Axial plane; Slice 84/155; Brain; Image size 240x240
FLAIR MRI.
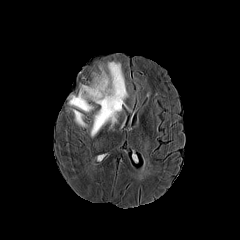
T1-weighted MR.
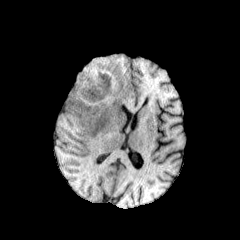
Post-contrast T1-weighted MR.
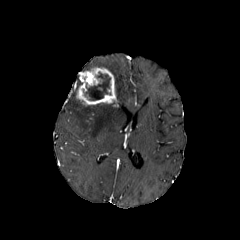
T2-weighted MRI.
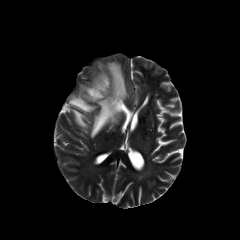
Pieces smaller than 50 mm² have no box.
necrotic tumor core = box=[85, 72, 110, 100]
peritumoral edema = box=[72, 109, 87, 127]; box=[68, 94, 94, 112]; box=[90, 61, 128, 137]
enhancing tumor = box=[76, 67, 118, 106]